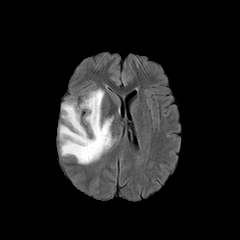
FLAIR magnetic resonance.
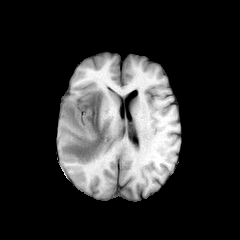
T1-weighted magnetic resonance.
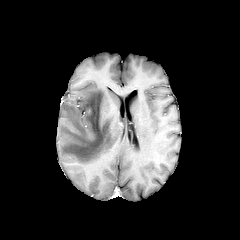
Post-contrast T1-weighted MRI of the same slice.
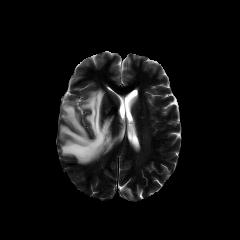
T2-weighted MR image.
Axial view
The peritumoral edema is at (59,88,116,164).